FLAIR MRI.
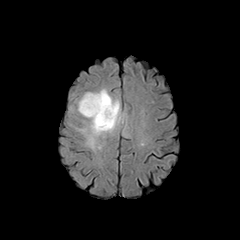
T1-weighted magnetic resonance.
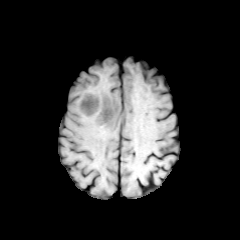
Post-contrast T1-weighted MRI.
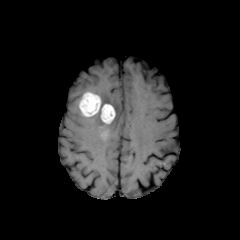
T2-weighted MR image.
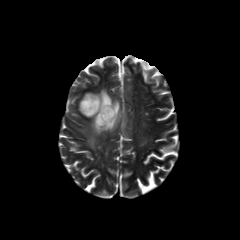
Brain; Axial plane; Image size 240x240
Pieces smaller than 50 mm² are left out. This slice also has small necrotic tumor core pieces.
- peritumoral edema: 78:88:124:149
- enhancing tumor: 79:92:115:124